Axial plane. Slice index 76. Image width 240 mm, 1.00 mm slice spacing. 240x240 px. Head.
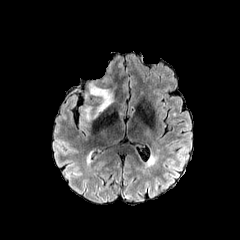
FLAIR MRI.
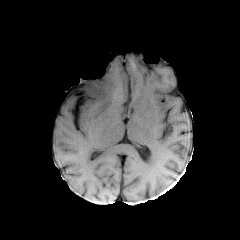
T1-weighted MR.
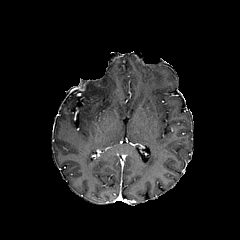
Post-contrast T1-weighted MRI.
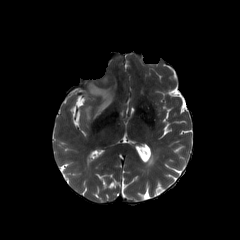
T2-weighted MR image.
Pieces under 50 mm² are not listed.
peritumoral edema: box=[81, 106, 91, 120]; box=[86, 83, 113, 117]